Slice 137 of 155
FLAIR magnetic resonance.
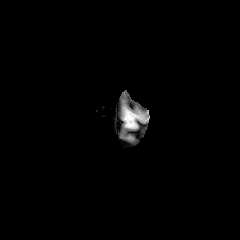
T1-weighted magnetic resonance.
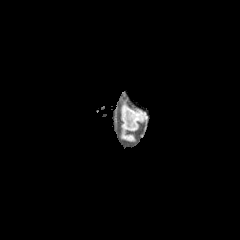
Post-contrast T1-weighted MRI.
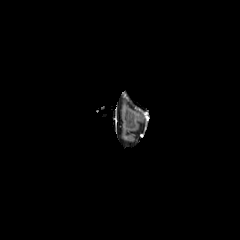
T2-weighted MR.
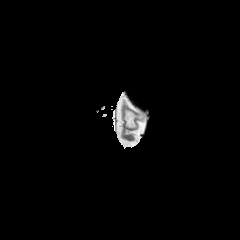
{"peritumoral_edema": ["bbox(123, 109, 143, 128)"]}